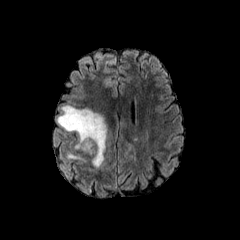
FLAIR MRI.
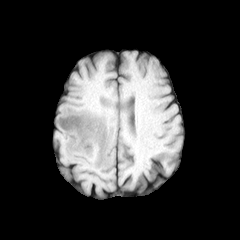
T1-weighted MRI of the same slice.
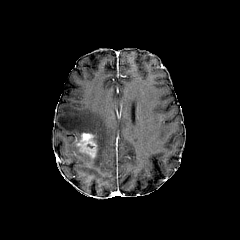
Post-contrast T1-weighted MR image of the same slice.
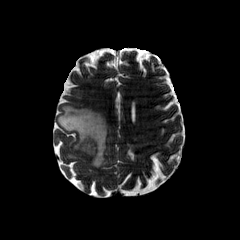
T2-weighted MRI.
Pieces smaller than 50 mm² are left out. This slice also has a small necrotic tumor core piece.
2 peritumoral edema regions are located at bbox=[57, 105, 107, 167]; bbox=[67, 153, 86, 161]. The enhancing tumor lies within bbox=[77, 133, 96, 157].